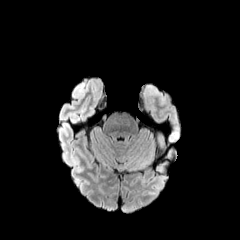
FLAIR MRI.
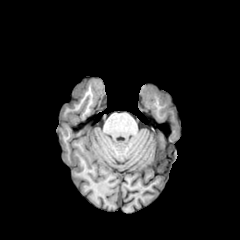
T1-weighted MR.
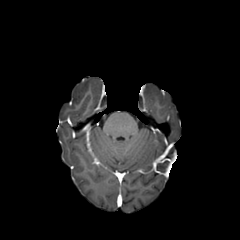
Same slice, post-contrast T1-weighted MR image.
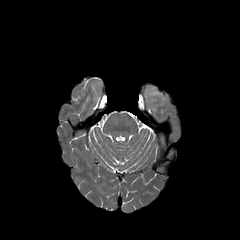
T2-weighted MRI.
Brain
The peritumoral edema is bounded by 144,85,157,95.